FLAIR MR.
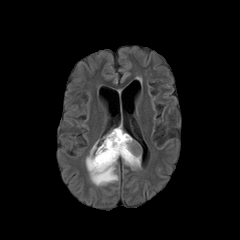
T1-weighted MR image.
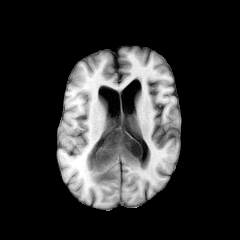
Post-contrast T1-weighted MRI.
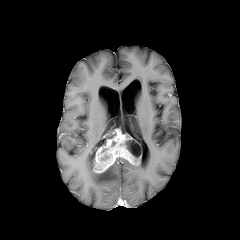
T2-weighted magnetic resonance.
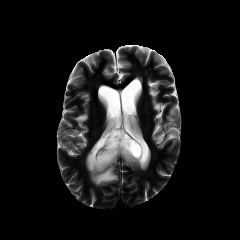
Axial plane
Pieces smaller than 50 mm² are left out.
The 2 largest necrotic tumor core regions appear at region(125, 140, 140, 158); region(97, 133, 115, 147). The 2 largest peritumoral edema regions are bounded by region(123, 159, 140, 169); region(85, 155, 118, 186). The enhancing tumor is at region(89, 128, 141, 172).